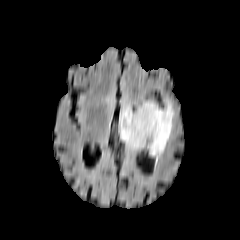
FLAIR MRI.
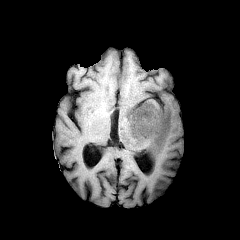
T1-weighted MR.
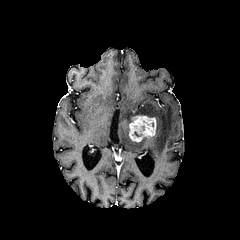
Post-contrast T1-weighted MRI.
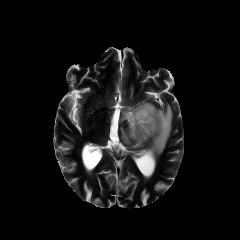
T2-weighted MR of the same slice.
Axial view. Head. 240x240 px.
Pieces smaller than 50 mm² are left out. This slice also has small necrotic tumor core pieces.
enhancing tumor: [x1=129, y1=115, x2=156, y2=142]
peritumoral edema: [x1=120, y1=101, x2=176, y2=160]